Slice index 11 | Brain | Image size 240x240 | Image width 240 mm, 1.00 mm slice spacing
FLAIR MR image.
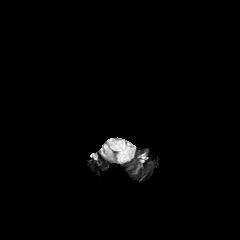
T1-weighted MRI.
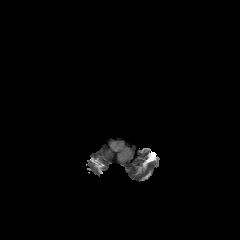
Post-contrast T1-weighted MR.
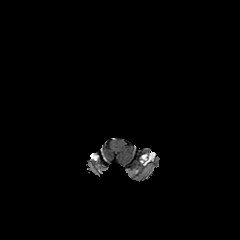
T2-weighted magnetic resonance.
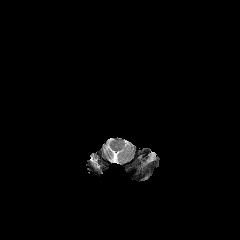
peritumoral_edema:
  - [119,144,129,159]